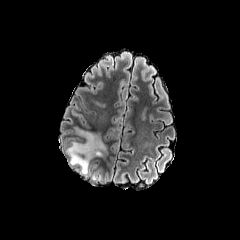
FLAIR MR image.
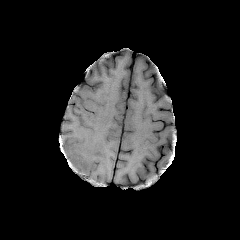
T1-weighted MR image.
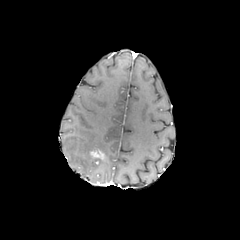
Post-contrast T1-weighted MRI of the same slice.
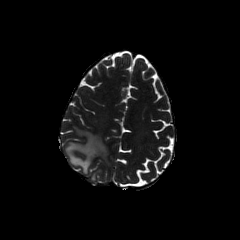
T2-weighted MRI.
Axial plane; Brain
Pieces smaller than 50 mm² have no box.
Findings:
- peritumoral edema: rect(66, 128, 107, 174)
- enhancing tumor: rect(89, 150, 104, 158)